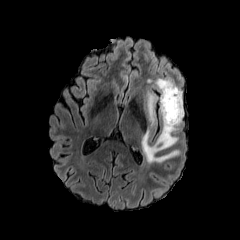
FLAIR MR.
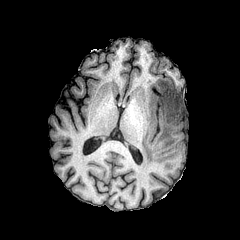
T1-weighted MR image.
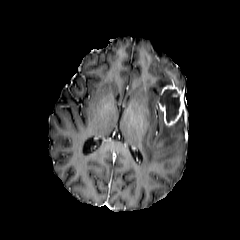
Post-contrast T1-weighted MR image.
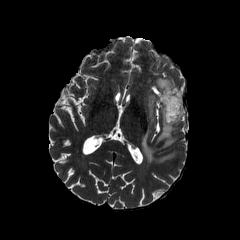
T2-weighted MR image of the same slice.
Axial plane; Head; 240x240
- enhancing tumor: x1=158, y1=83, x2=183, y2=126
- necrotic tumor core: x1=159, y1=89, x2=179, y2=122
- peritumoral edema: x1=156, y1=78, x2=173, y2=91; x1=147, y1=93, x2=158, y2=124; x1=141, y1=111, x2=183, y2=163